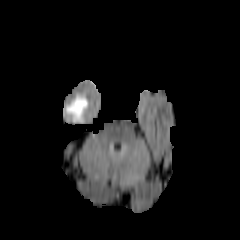
FLAIR MR image.
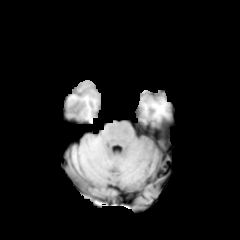
T1-weighted MR image.
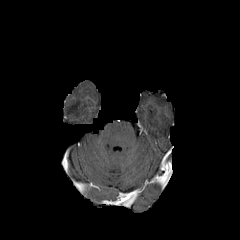
Same slice, post-contrast T1-weighted MRI.
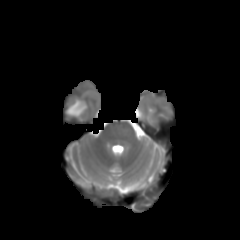
Same slice, T2-weighted MRI.
Head. 240x240. Axial view.
Segmented structures:
• peritumoral edema: box(64, 95, 87, 122)